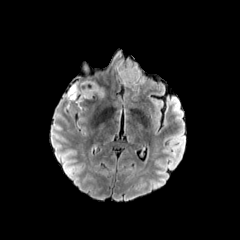
FLAIR MRI.
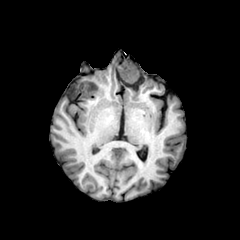
T1-weighted MR.
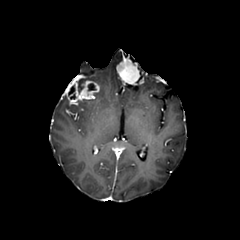
Post-contrast T1-weighted MR image.
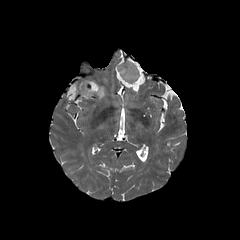
T2-weighted MRI of the same slice.
Brain.
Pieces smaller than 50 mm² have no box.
* enhancing tumor: <bbox>64, 78, 99, 104</bbox>, <bbox>116, 59, 143, 84</bbox>
* necrotic tumor core: <bbox>88, 83, 96, 90</bbox>
* peritumoral edema: <bbox>97, 86, 104, 97</bbox>